FLAIR magnetic resonance.
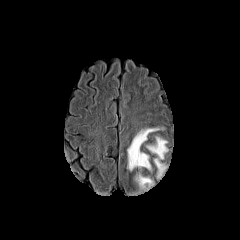
T1-weighted MR.
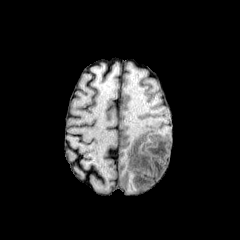
Post-contrast T1-weighted MRI.
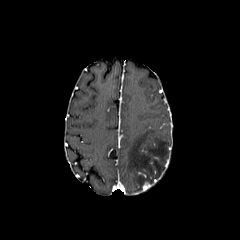
T2-weighted MR.
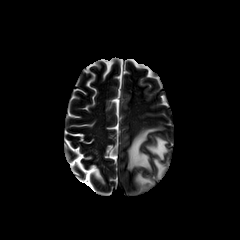
Axial view.
Findings:
- peritumoral edema: (146, 136, 168, 177), (127, 128, 159, 171), (135, 174, 153, 188)
- enhancing tumor: (142, 182, 151, 190)